Brain; Image width 240 mm, 1.00 mm slice spacing; Axial view
FLAIR MRI.
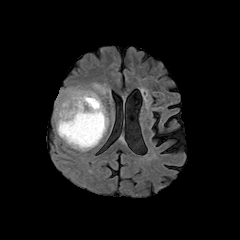
T1-weighted MRI.
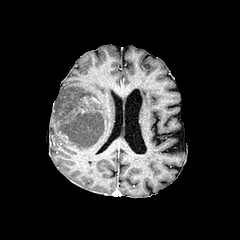
Post-contrast T1-weighted MRI.
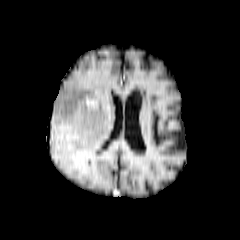
T2-weighted MR image.
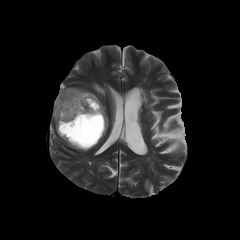
Annotated regions:
- necrotic tumor core: bbox=[60, 112, 103, 145]
- peritumoral edema: bbox=[54, 83, 108, 151]
- enhancing tumor: bbox=[83, 96, 97, 109]